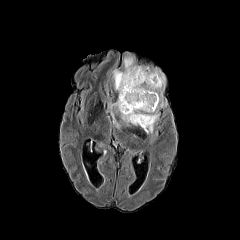
FLAIR MR image.
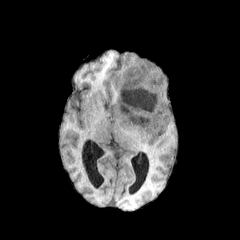
Same slice, T1-weighted MRI.
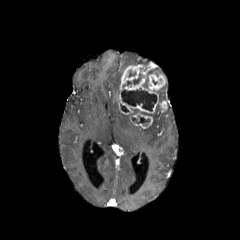
Post-contrast T1-weighted MR image.
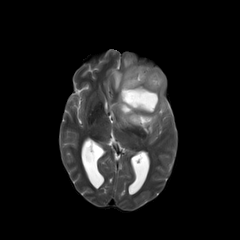
T2-weighted MR image of the same slice.
Brain
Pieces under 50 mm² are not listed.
necrotic tumor core = bbox(143, 70, 152, 87); bbox(133, 109, 150, 115); bbox(131, 116, 150, 123); bbox(133, 73, 141, 84); bbox(121, 88, 157, 111)
enhancing tumor = bbox(118, 64, 165, 128)
peritumoral edema = bbox(106, 101, 130, 127); bbox(159, 86, 163, 100); bbox(112, 69, 122, 92); bbox(144, 105, 159, 134); bbox(123, 56, 134, 68)